FLAIR MR.
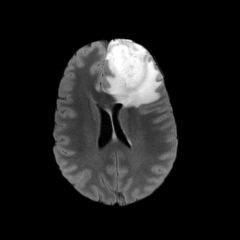
T1-weighted MR.
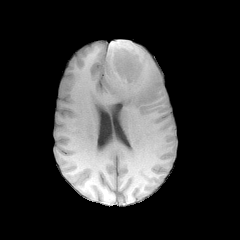
Post-contrast T1-weighted MR image.
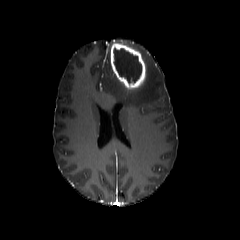
T2-weighted MR image.
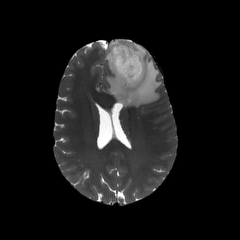
Axial slice, Head
enhancing tumor: box(110, 41, 146, 90) | necrotic tumor core: box(113, 48, 141, 82) | peritumoral edema: box(95, 39, 162, 107)